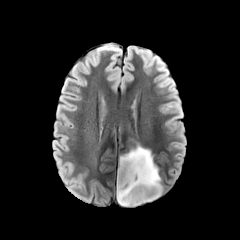
FLAIR magnetic resonance.
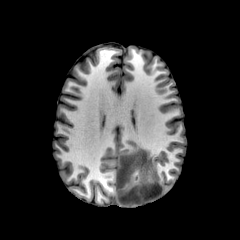
T1-weighted MRI.
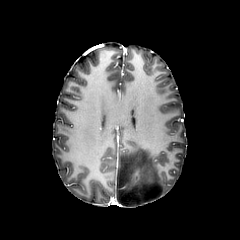
Post-contrast T1-weighted magnetic resonance of the same slice.
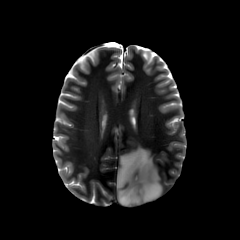
T2-weighted MR image.
Axial slice
peritumoral edema: {"x1": 116, "y1": 145, "x2": 162, "y2": 206}